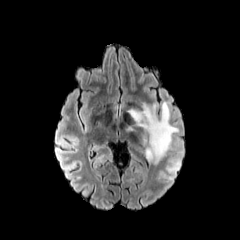
FLAIR MR.
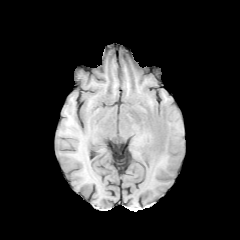
Same slice, T1-weighted magnetic resonance.
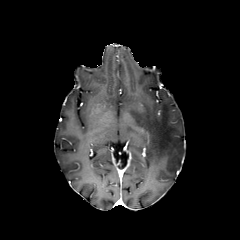
Post-contrast T1-weighted MR image.
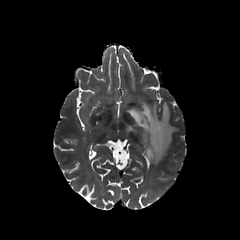
T2-weighted MR.
240x240 px; Axial slice
<segmentation>
  <peritumoral_edema>bbox=[125, 101, 178, 165]</peritumoral_edema>
</segmentation>